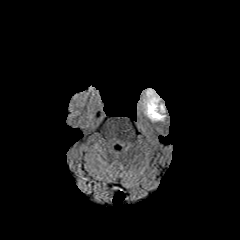
FLAIR MR.
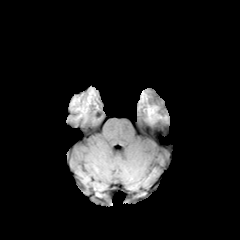
Same slice, T1-weighted MRI.
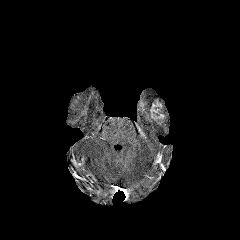
Post-contrast T1-weighted MR.
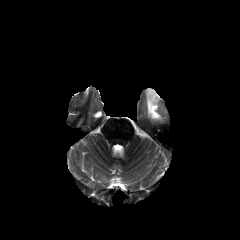
T2-weighted MR.
Head | Image size 240x240
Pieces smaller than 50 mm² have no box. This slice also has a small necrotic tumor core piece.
enhancing tumor: <bbox>150, 99, 164, 121</bbox> | peritumoral edema: <bbox>139, 88, 166, 124</bbox>